FLAIR MR.
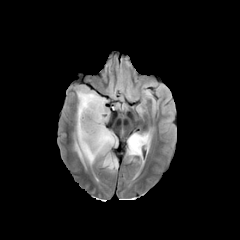
T1-weighted MR.
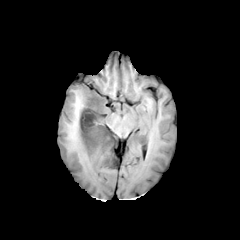
Post-contrast T1-weighted magnetic resonance.
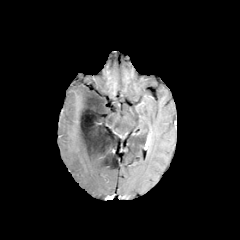
T2-weighted magnetic resonance.
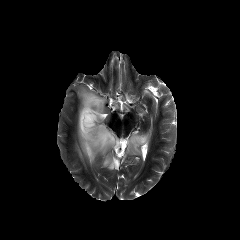
Axial plane
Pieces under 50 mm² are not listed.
2 necrotic tumor core regions appear at x1=111 y1=158 x2=117 y2=166, x1=80 y1=95 x2=115 y2=151. The 2 largest peritumoral edema regions are located at x1=127 y1=133 x2=150 y2=156, x1=75 y1=88 x2=118 y2=169.